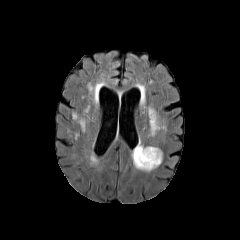
FLAIR MR image.
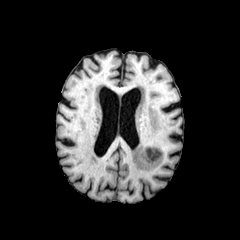
T1-weighted magnetic resonance.
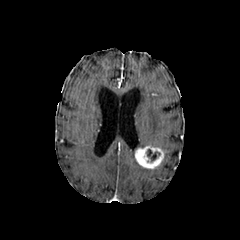
Same slice, post-contrast T1-weighted magnetic resonance.
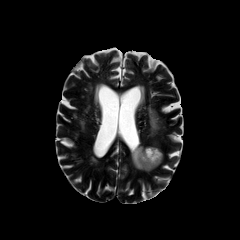
Same slice, T2-weighted MR image.
The necrotic tumor core lies within (147,149,159,161). 2 peritumoral edema regions appear at (148,107,161,135), (131,142,152,172). The enhancing tumor is at (135,145,163,169).